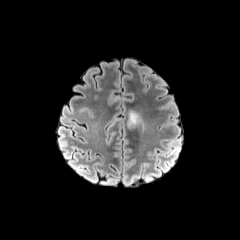
FLAIR magnetic resonance.
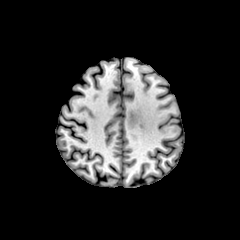
T1-weighted MR.
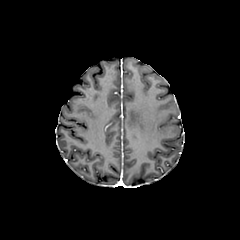
Post-contrast T1-weighted magnetic resonance of the same slice.
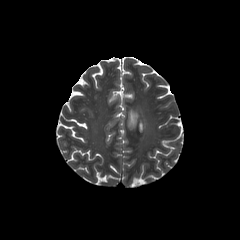
T2-weighted MRI.
Brain. 240x240. Axial view.
The peritumoral edema is at 128 111 139 127.